240x240.
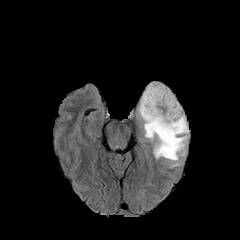
FLAIR MR.
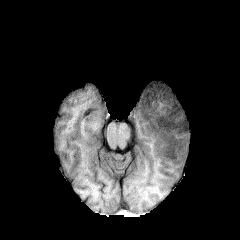
T1-weighted magnetic resonance.
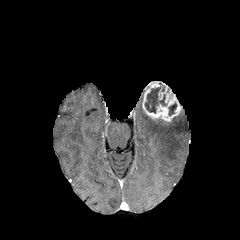
Post-contrast T1-weighted magnetic resonance.
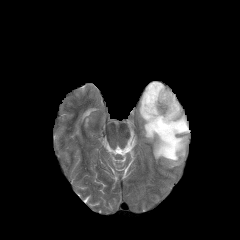
T2-weighted MRI of the same slice.
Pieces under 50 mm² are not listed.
Segmented structures:
* necrotic tumor core: (x1=169, y1=103, x2=176, y2=115), (x1=145, y1=87, x2=166, y2=112)
* peritumoral edema: (x1=138, y1=96, x2=189, y2=167)
* enhancing tumor: (x1=142, y1=81, x2=182, y2=123)